Head | Image width 240 mm
FLAIR MR.
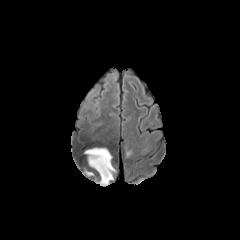
T1-weighted MRI.
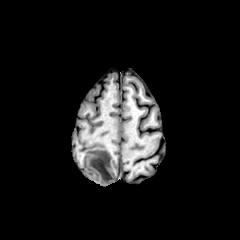
Post-contrast T1-weighted MR image.
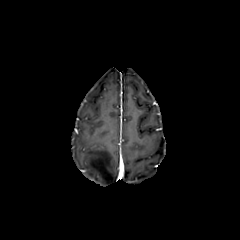
T2-weighted MR image.
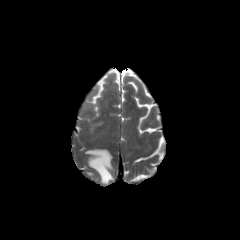
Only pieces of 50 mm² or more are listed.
<segmentation>
  <peritumoral_edema>85 148 115 184</peritumoral_edema>
</segmentation>